FLAIR MR.
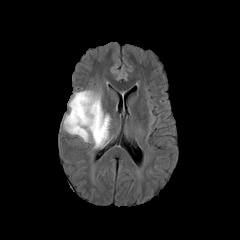
T1-weighted MR.
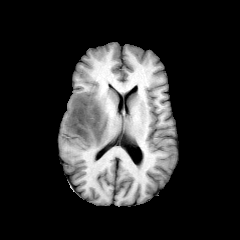
Post-contrast T1-weighted MR image.
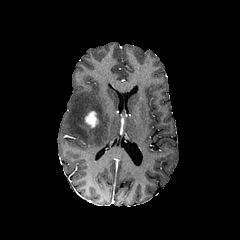
T2-weighted MR image.
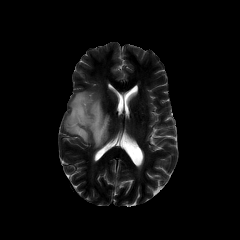
240x240, Head
• enhancing tumor: 84 111 98 127
• peritumoral edema: 64 90 110 148